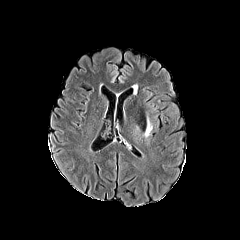
FLAIR magnetic resonance.
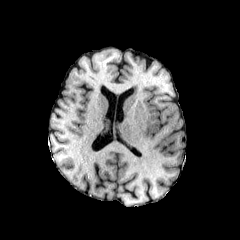
T1-weighted MRI of the same slice.
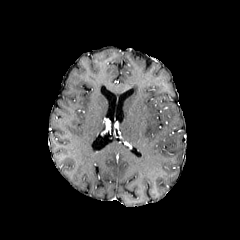
Same slice, post-contrast T1-weighted MR.
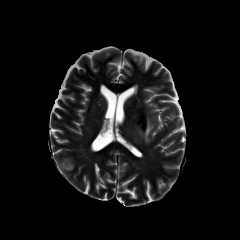
Same slice, T2-weighted MRI.
Brain
• peritumoral edema: 143:114:152:137